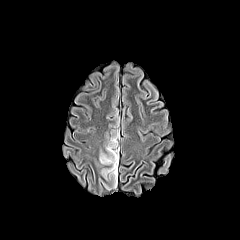
FLAIR MRI.
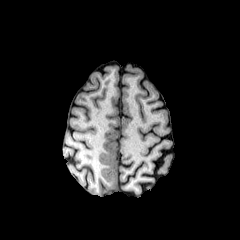
Same slice, T1-weighted MR image.
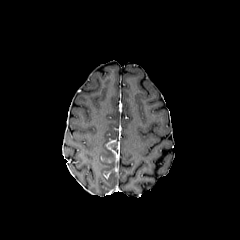
Post-contrast T1-weighted MR image.
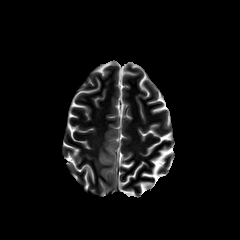
T2-weighted magnetic resonance.
Brain
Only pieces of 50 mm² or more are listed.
Findings:
* peritumoral edema: bbox(99, 132, 118, 179)